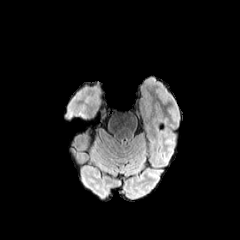
FLAIR MRI.
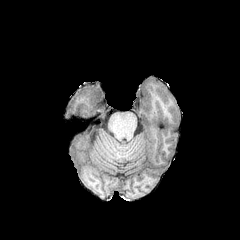
T1-weighted magnetic resonance.
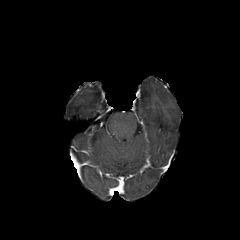
Same slice, post-contrast T1-weighted MRI.
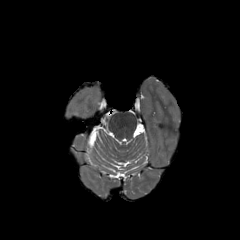
T2-weighted MR.
240x240
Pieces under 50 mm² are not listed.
The largest peritumoral edema region lies within x1=90, y1=90, x2=99, y2=101.